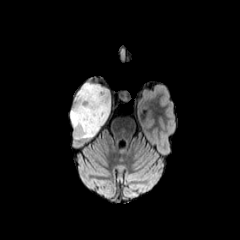
FLAIR MR image.
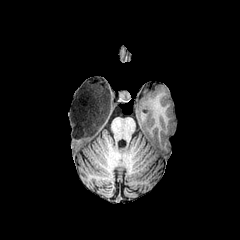
T1-weighted magnetic resonance.
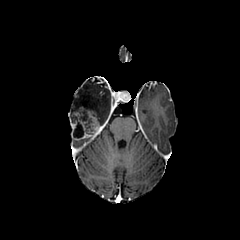
Post-contrast T1-weighted MRI.
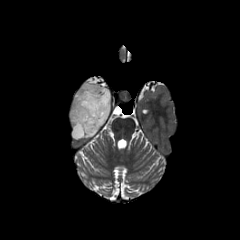
T2-weighted MR of the same slice.
Axial slice; Head
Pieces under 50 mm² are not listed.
necrotic tumor core: bounding box bbox=[72, 115, 84, 138]; bbox=[78, 110, 92, 132]
enhancing tumor: bounding box bbox=[70, 107, 102, 139]
peritumoral edema: bounding box bbox=[70, 82, 110, 125]